FLAIR MRI.
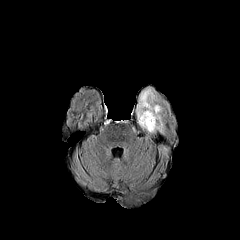
T1-weighted magnetic resonance.
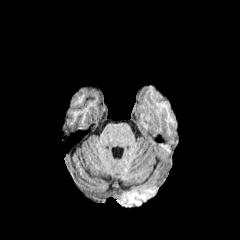
Post-contrast T1-weighted MRI.
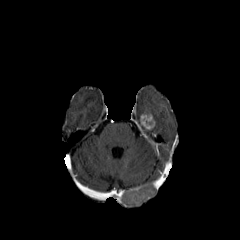
T2-weighted MRI.
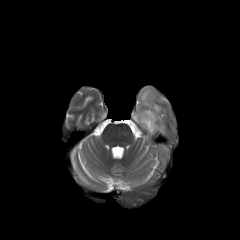
Head
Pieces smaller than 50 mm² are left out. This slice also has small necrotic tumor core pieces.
Segmented structures:
* enhancing tumor: (140, 114, 155, 129)
* peritumoral edema: (136, 87, 166, 136)